FLAIR MRI.
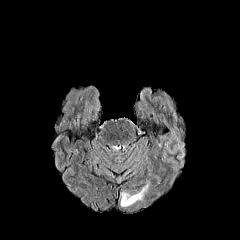
T1-weighted MR.
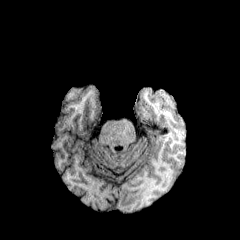
Post-contrast T1-weighted MR.
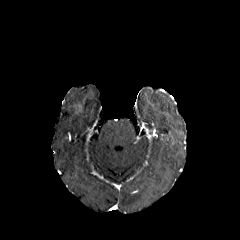
T2-weighted MR.
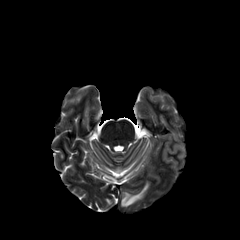
Head
The peritumoral edema is located at 120,181,149,207.